Brain | Axial plane
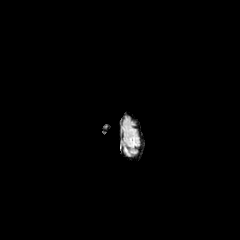
FLAIR MRI.
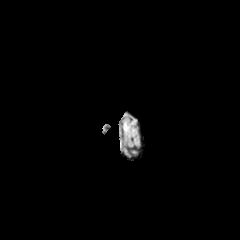
T1-weighted MR image.
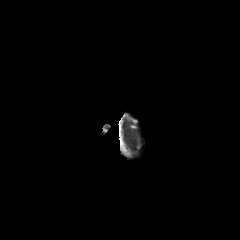
Post-contrast T1-weighted MR image.
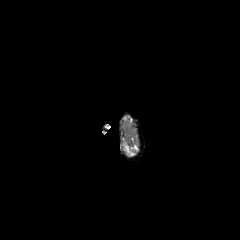
T2-weighted MR image.
peritumoral edema: bounding box [125, 125, 132, 135]